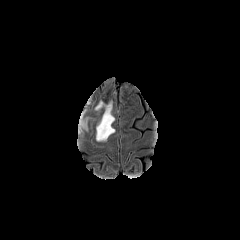
FLAIR MR.
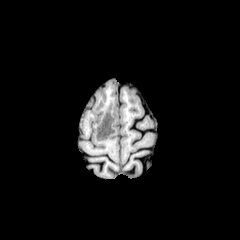
T1-weighted MR.
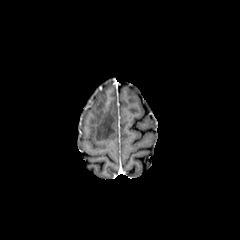
Post-contrast T1-weighted MR.
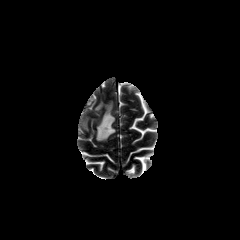
Same slice, T2-weighted MR.
Head, 240x240
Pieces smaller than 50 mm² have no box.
peritumoral edema: left=96, top=102, right=115, bottom=141